FLAIR MR image.
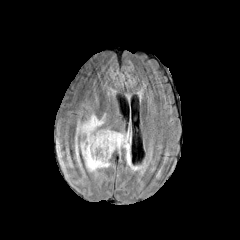
T1-weighted magnetic resonance.
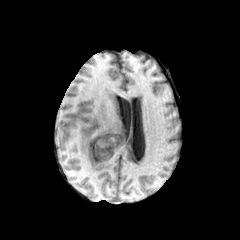
Post-contrast T1-weighted MRI.
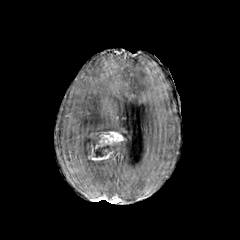
T2-weighted magnetic resonance.
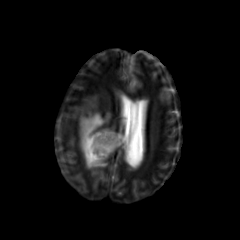
Head, Axial view
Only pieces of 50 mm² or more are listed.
<segmentation>
  <enhancing_tumor>rect(87, 131, 126, 160)</enhancing_tumor>
  <peritumoral_edema>rect(77, 114, 109, 171); rect(113, 135, 130, 163)</peritumoral_edema>
  <necrotic_tumor_core>rect(94, 145, 111, 156)</necrotic_tumor_core>
</segmentation>